Slice 45/155. 240x240 px.
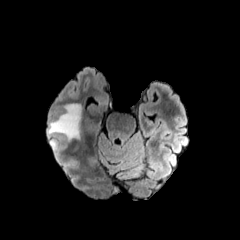
FLAIR MR image.
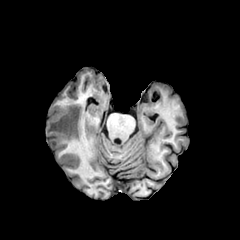
T1-weighted MR of the same slice.
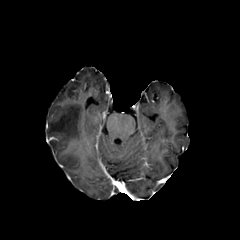
Same slice, post-contrast T1-weighted MRI.
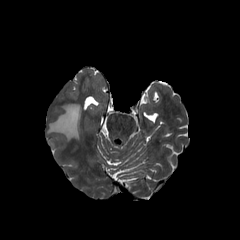
T2-weighted magnetic resonance of the same slice.
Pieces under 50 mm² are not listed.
The largest peritumoral edema region is located at left=47, top=104, right=81, bottom=140.